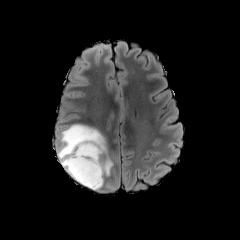
FLAIR magnetic resonance.
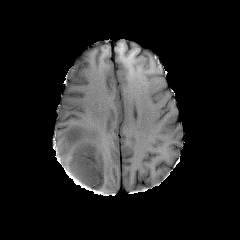
T1-weighted MRI.
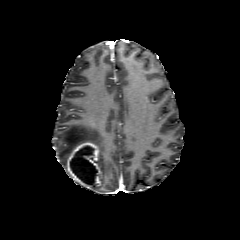
Post-contrast T1-weighted MR of the same slice.
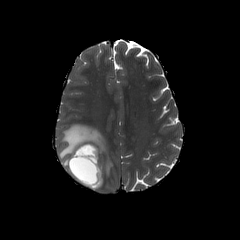
T2-weighted MR image.
Head, Axial plane, 240x240
The necrotic tumor core is at l=70, t=146, r=97, b=185. The enhancing tumor is at l=63, t=141, r=101, b=189. The peritumoral edema is located at l=57, t=124, r=113, b=190.